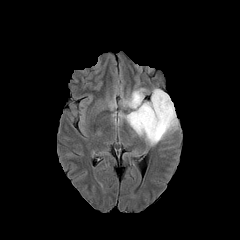
FLAIR MRI.
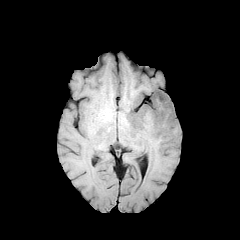
T1-weighted MR of the same slice.
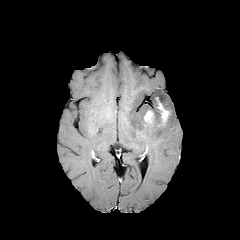
Same slice, post-contrast T1-weighted magnetic resonance.
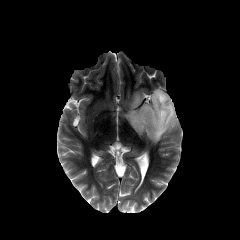
T2-weighted MR image of the same slice.
{
  "enhancing_tumor": [
    "[155, 97, 170, 124]",
    "[144, 109, 154, 123]"
  ],
  "peritumoral_edema": [
    "[122, 88, 178, 144]"
  ]
}